FLAIR magnetic resonance.
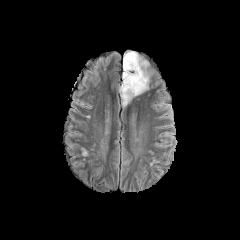
T1-weighted MR.
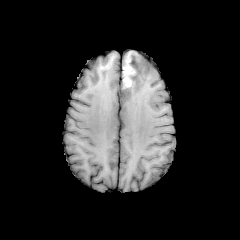
Post-contrast T1-weighted MRI.
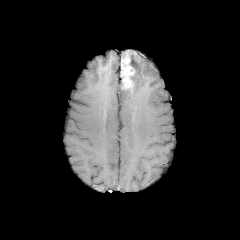
T2-weighted MR image.
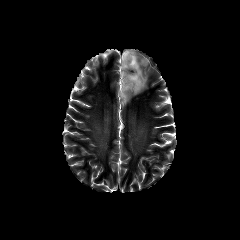
Axial view
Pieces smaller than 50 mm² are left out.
necrotic_tumor_core:
  - (129, 51, 138, 89)
peritumoral_edema:
  - (119, 53, 148, 105)
enhancing_tumor:
  - (122, 51, 134, 91)